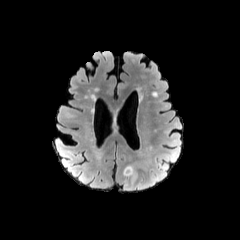
FLAIR MR.
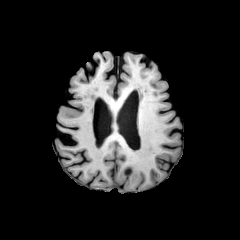
T1-weighted MRI.
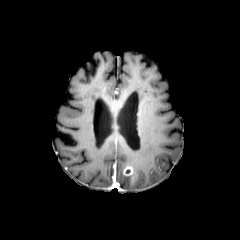
Post-contrast T1-weighted MR of the same slice.
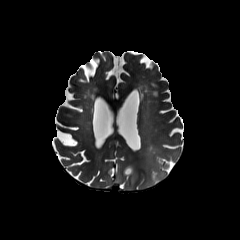
T2-weighted MR image.
240x240; Head; Axial plane
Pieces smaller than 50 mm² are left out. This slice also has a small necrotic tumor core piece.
Annotated regions:
* enhancing tumor: x1=122 y1=166 x2=136 y2=185
* peritumoral edema: x1=119 y1=164 x2=155 y2=191